Brain. Image width 240 mm, 1.00 mm slice spacing. Slice index 98. 240x240 px.
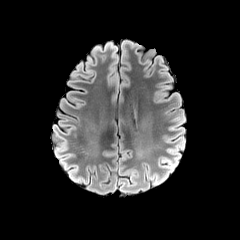
FLAIR MRI.
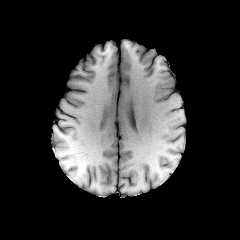
T1-weighted MR image.
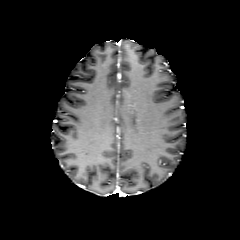
Post-contrast T1-weighted MR of the same slice.
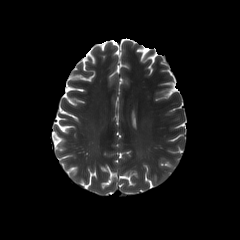
T2-weighted MR.
peritumoral edema at box(159, 157, 172, 168)